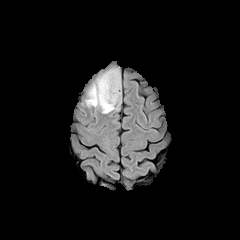
FLAIR MR.
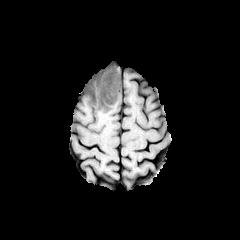
Same slice, T1-weighted MRI.
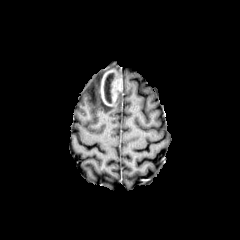
Same slice, post-contrast T1-weighted magnetic resonance.
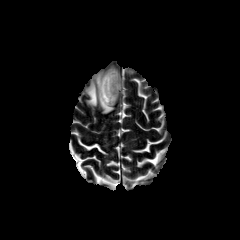
T2-weighted MR.
Axial plane.
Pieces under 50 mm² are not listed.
enhancing tumor: 100, 69, 121, 105
peritumoral edema: 85, 72, 121, 113
necrotic tumor core: 104, 73, 115, 103